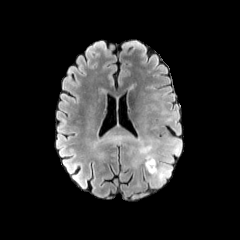
FLAIR MR image.
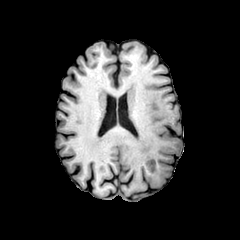
T1-weighted magnetic resonance.
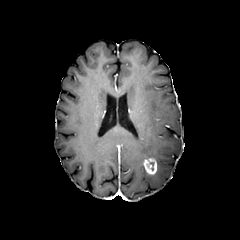
Same slice, post-contrast T1-weighted MR.
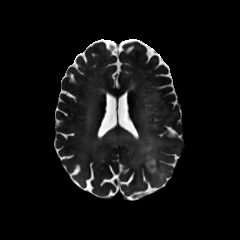
Same slice, T2-weighted MRI.
Head. 240x240 px. Axial plane.
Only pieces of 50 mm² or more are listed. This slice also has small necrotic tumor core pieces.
Segmented structures:
- enhancing tumor: 143 158 156 174
- peritumoral edema: 150 162 168 184, 133 138 159 165